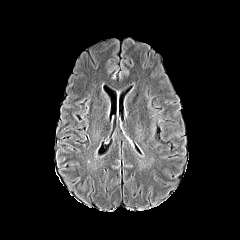
FLAIR MR image.
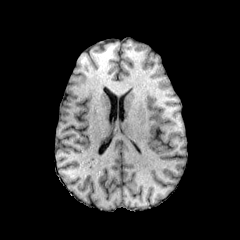
T1-weighted MR.
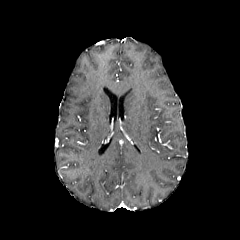
Post-contrast T1-weighted MRI.
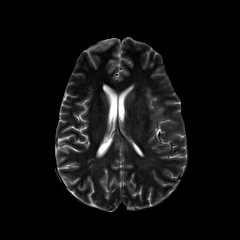
T2-weighted magnetic resonance.
240x240
The peritumoral edema is located at <box>153,110,161,131</box>.